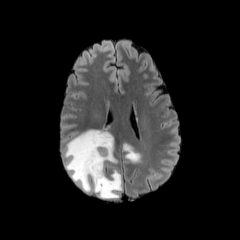
FLAIR MR.
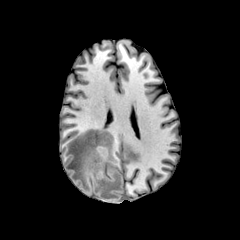
Same slice, T1-weighted magnetic resonance.
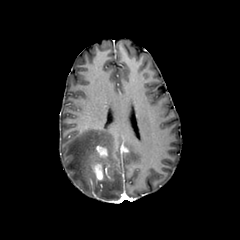
Post-contrast T1-weighted MRI.
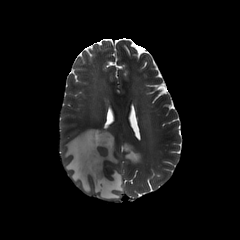
Same slice, T2-weighted magnetic resonance.
Head | Axial slice | 240x240 px
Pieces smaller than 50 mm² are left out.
{
  "peritumoral_edema": [
    "rect(123, 143, 141, 162)",
    "rect(64, 129, 122, 199)"
  ],
  "enhancing_tumor": [
    "rect(92, 146, 107, 180)"
  ]
}